FLAIR MR image.
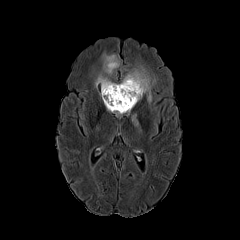
T1-weighted MR.
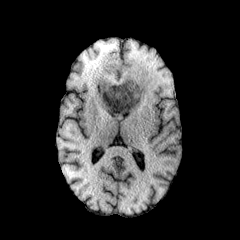
Post-contrast T1-weighted MR.
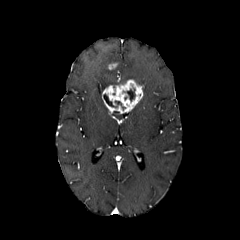
T2-weighted MRI.
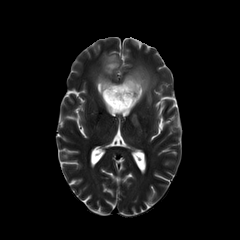
Brain.
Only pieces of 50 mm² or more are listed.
2 enhancing tumor regions are located at <box>108,63,117,69</box>, <box>102,79,143,114</box>. The 3 largest peritumoral edema regions are located at <box>132,114,138,126</box>, <box>120,66,156,103</box>, <box>95,53,120,95</box>. The 2 largest necrotic tumor core regions appear at <box>127,90,135,101</box>, <box>103,94,114,106</box>.